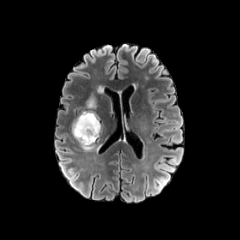
FLAIR magnetic resonance.
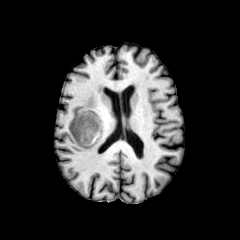
T1-weighted magnetic resonance.
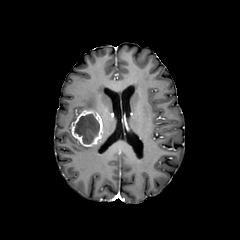
Post-contrast T1-weighted MRI.
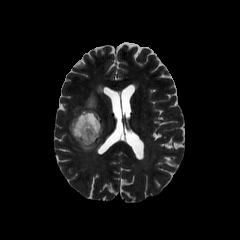
T2-weighted magnetic resonance.
Axial view
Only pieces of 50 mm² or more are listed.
necrotic tumor core — [74,114,99,143]
peritumoral edema — [86,95,96,110]
enhancing tumor — [71,110,102,146]